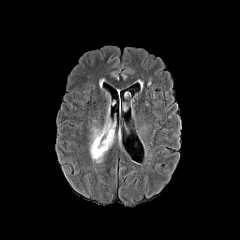
FLAIR MR.
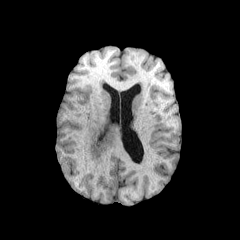
Same slice, T1-weighted magnetic resonance.
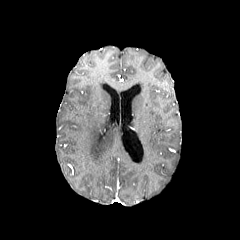
Post-contrast T1-weighted MR image of the same slice.
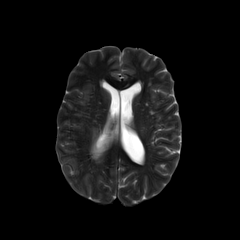
Same slice, T2-weighted magnetic resonance.
240x240 px
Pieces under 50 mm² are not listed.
The largest peritumoral edema region is located at [90,121,114,162].